Slice 92/155. Brain.
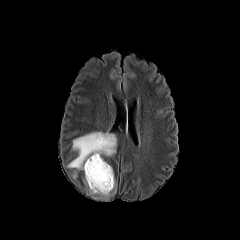
FLAIR MR.
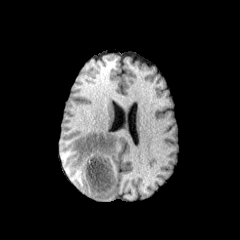
T1-weighted MR image.
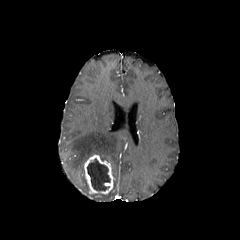
Post-contrast T1-weighted MR image of the same slice.
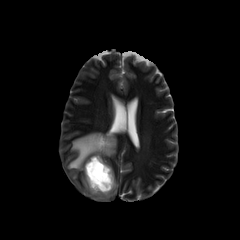
T2-weighted MR.
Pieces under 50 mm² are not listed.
enhancing_tumor:
  - [84,154,114,194]
necrotic_tumor_core:
  - [87,158,110,190]
peritumoral_edema:
  - [67,132,116,170]